Slice index 88, Axial plane
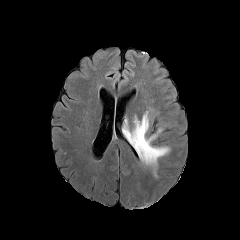
FLAIR MRI.
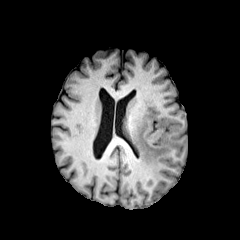
T1-weighted MR image.
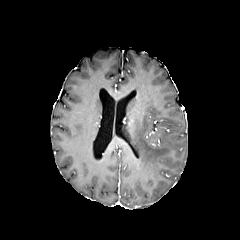
Post-contrast T1-weighted magnetic resonance.
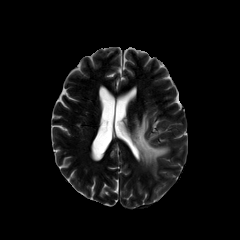
Same slice, T2-weighted MR image.
Annotated regions:
- peritumoral edema: box=[125, 111, 169, 177]